Axial view, 240x240
FLAIR MRI.
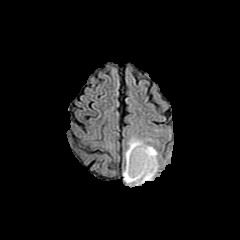
T1-weighted magnetic resonance.
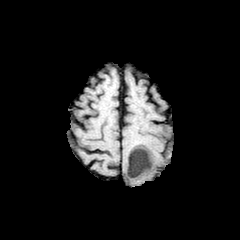
Post-contrast T1-weighted magnetic resonance.
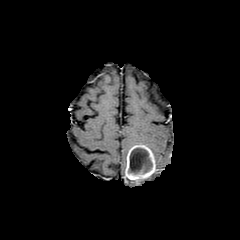
T2-weighted MR image.
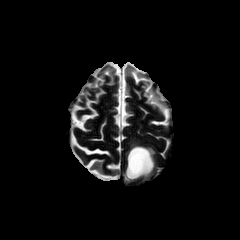
Segmented structures:
* necrotic tumor core: box(129, 148, 151, 173)
* peritumoral edema: box(123, 170, 156, 184); box(125, 137, 145, 165); box(146, 145, 158, 169)
* enhancing tumor: box(125, 144, 156, 180)